FLAIR MR.
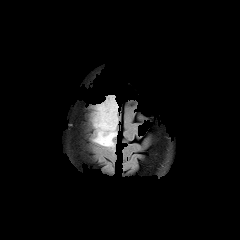
T1-weighted MR.
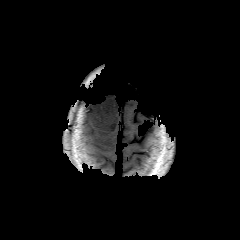
Post-contrast T1-weighted MR image.
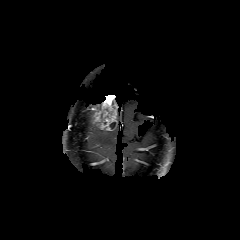
T2-weighted MRI.
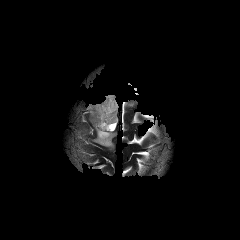
Axial slice | Brain
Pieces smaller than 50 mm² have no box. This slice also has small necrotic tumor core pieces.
Segmented structures:
• enhancing tumor: rect(92, 95, 118, 130)
• peritumoral edema: rect(93, 124, 117, 149)